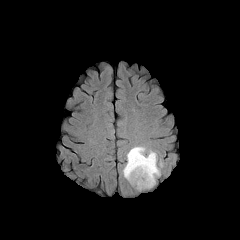
FLAIR MRI.
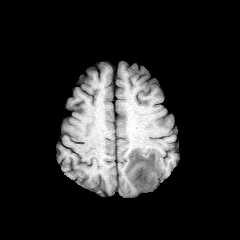
T1-weighted MRI of the same slice.
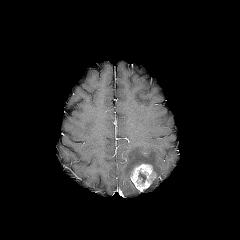
Post-contrast T1-weighted magnetic resonance.
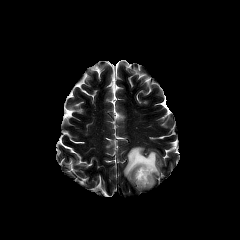
Same slice, T2-weighted MR.
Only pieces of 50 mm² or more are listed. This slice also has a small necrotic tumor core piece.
enhancing tumor: bounding box {"x1": 130, "y1": 163, "x2": 155, "y2": 191}
peritumoral edema: bounding box {"x1": 123, "y1": 146, "x2": 162, "y2": 184}